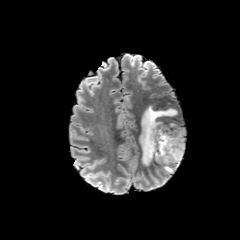
FLAIR MR image.
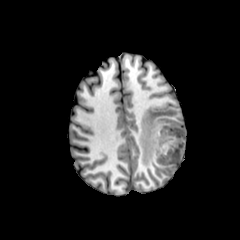
Same slice, T1-weighted MR.
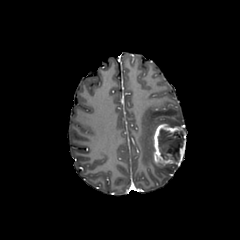
Post-contrast T1-weighted magnetic resonance of the same slice.
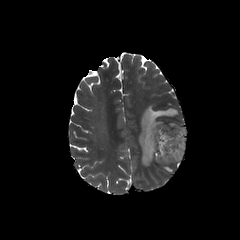
Same slice, T2-weighted magnetic resonance.
240x240, Brain
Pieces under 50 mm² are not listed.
The largest enhancing tumor region is bounded by 153:123:186:165. The necrotic tumor core appears at 158:128:184:161. The 2 largest peritumoral edema regions appear at 161:164:178:173, 139:105:178:165.